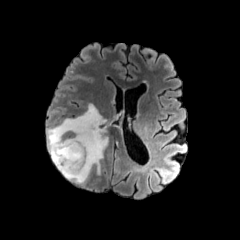
FLAIR MR.
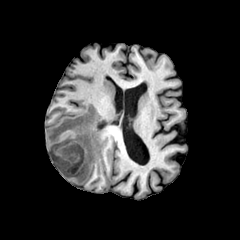
T1-weighted magnetic resonance of the same slice.
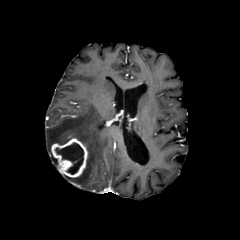
Post-contrast T1-weighted MR of the same slice.
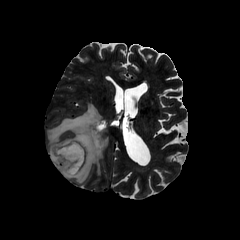
Same slice, T2-weighted MRI.
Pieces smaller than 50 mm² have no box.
peritumoral edema — l=47, t=104, r=108, b=183
enhancing tumor — l=51, t=138, r=88, b=177
necrotic tumor core — l=55, t=143, r=83, b=174